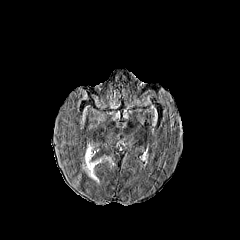
FLAIR MR.
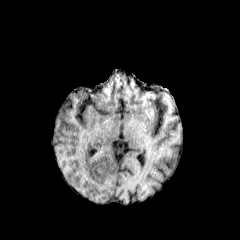
T1-weighted MR image of the same slice.
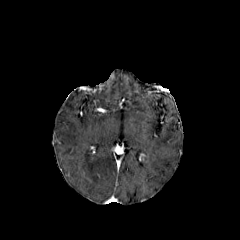
Same slice, post-contrast T1-weighted magnetic resonance.
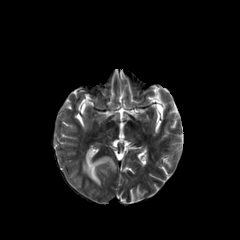
T2-weighted magnetic resonance.
Axial view
Findings:
• peritumoral edema: (x1=82, y1=148, x2=113, y2=183)